FLAIR MR image.
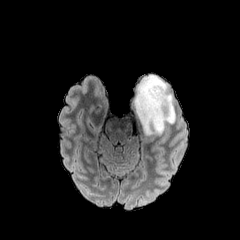
T1-weighted MR image.
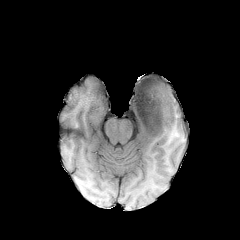
Post-contrast T1-weighted MR image.
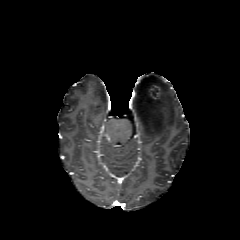
T2-weighted MR image.
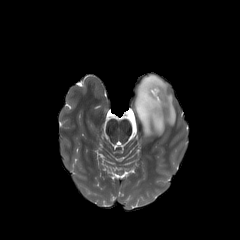
Axial slice.
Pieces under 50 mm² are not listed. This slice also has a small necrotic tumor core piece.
Findings:
• peritumoral edema: bbox(132, 74, 176, 136)
• enhancing tumor: bbox(149, 85, 160, 99)